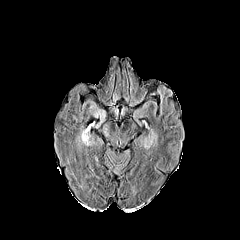
FLAIR MRI.
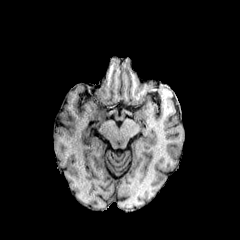
Same slice, T1-weighted MR image.
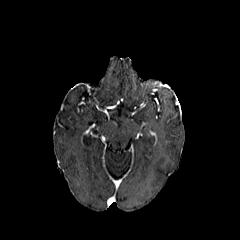
Post-contrast T1-weighted magnetic resonance of the same slice.
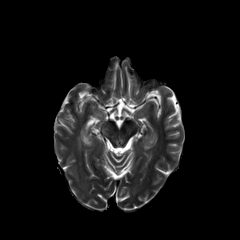
Same slice, T2-weighted MR.
Head, Axial view
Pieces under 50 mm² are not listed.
peritumoral edema at {"x1": 79, "y1": 103, "x2": 104, "y2": 145}